FLAIR MR image.
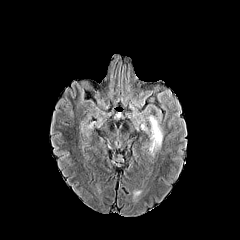
T1-weighted MR.
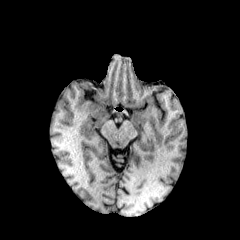
Post-contrast T1-weighted MR.
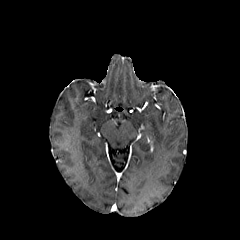
T2-weighted magnetic resonance.
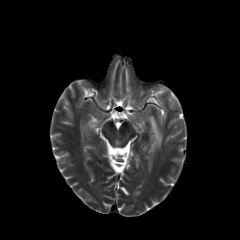
Image size 240x240; Axial view
peritumoral edema — bbox=[149, 116, 162, 149]